Image width 240 mm.
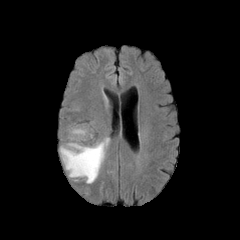
FLAIR magnetic resonance.
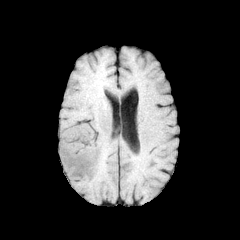
T1-weighted MR.
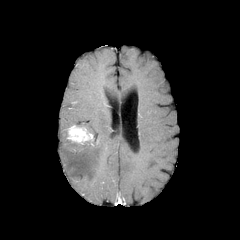
Post-contrast T1-weighted MRI of the same slice.
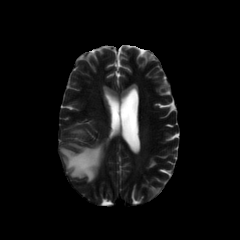
T2-weighted magnetic resonance.
peritumoral edema at [60,137,109,183]
enhancing tumor at [68,125,92,143]